Axial plane, Brain, Slice index 106
FLAIR MRI.
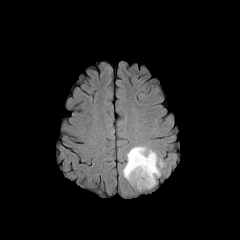
T1-weighted MR image.
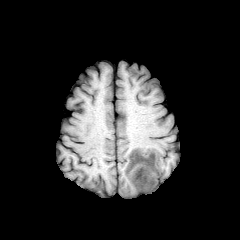
Post-contrast T1-weighted MR image.
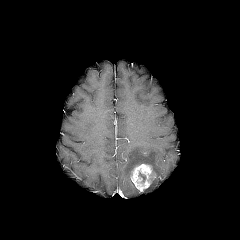
T2-weighted magnetic resonance.
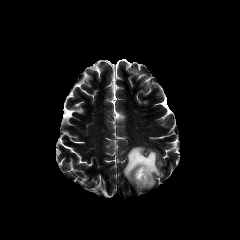
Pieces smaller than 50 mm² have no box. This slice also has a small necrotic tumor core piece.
enhancing tumor at box(130, 164, 154, 191)
peritumoral edema at box(123, 146, 163, 184)